FLAIR MR image.
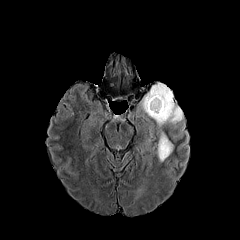
T1-weighted MR.
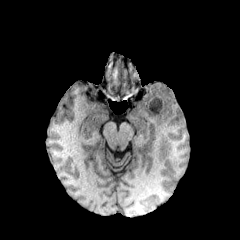
Post-contrast T1-weighted MR image.
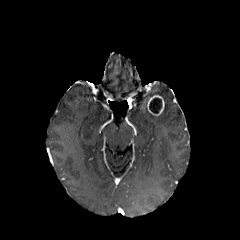
T2-weighted MR.
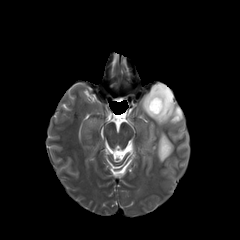
240x240, Axial view
Segmented structures:
* peritumoral edema: bbox=[140, 83, 183, 126]; bbox=[157, 131, 173, 161]
* necrotic tumor core: bbox=[149, 98, 161, 113]
* enhancing tumor: bbox=[147, 95, 164, 115]